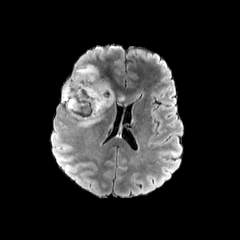
FLAIR MR.
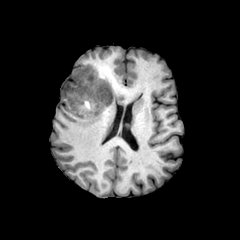
T1-weighted magnetic resonance.
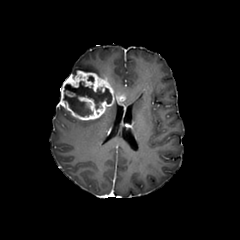
Post-contrast T1-weighted MR.
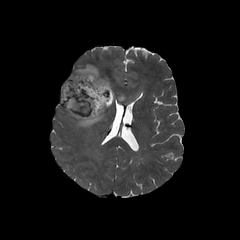
T2-weighted MR image.
Axial view, Image size 240x240
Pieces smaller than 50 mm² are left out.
<segmentation>
  <peritumoral_edema>{"x1": 76, "y1": 114, "x2": 103, "y2": 127}, {"x1": 131, "y1": 91, "x2": 143, "y2": 99}, {"x1": 72, "y1": 57, "x2": 100, "y2": 76}</peritumoral_edema>
  <enhancing_tumor>{"x1": 59, "y1": 70, "x2": 125, "y2": 120}</enhancing_tumor>
  <necrotic_tumor_core>{"x1": 63, "y1": 81, "x2": 111, "y2": 116}</necrotic_tumor_core>
</segmentation>